FLAIR MRI.
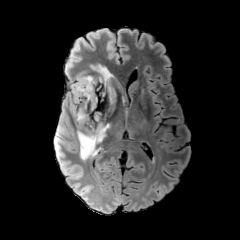
T1-weighted MR image.
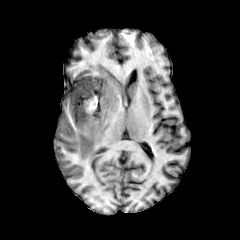
Post-contrast T1-weighted MR.
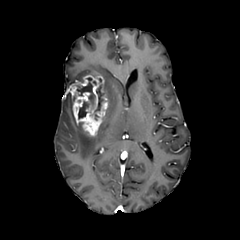
T2-weighted MR image.
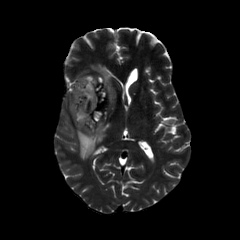
Brain, 240x240
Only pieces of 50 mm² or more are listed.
necrotic tumor core — 77, 77, 95, 119
enhancing tumor — 69, 75, 109, 136
peritumoral edema — 66, 92, 72, 116; 91, 65, 116, 116; 77, 123, 109, 159